FLAIR magnetic resonance.
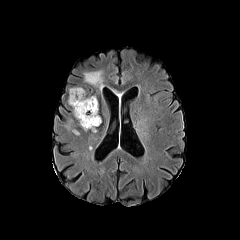
T1-weighted MR image.
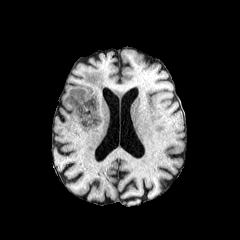
Post-contrast T1-weighted MRI.
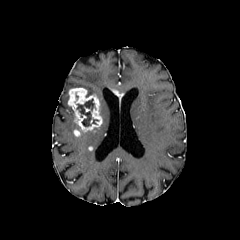
T2-weighted magnetic resonance.
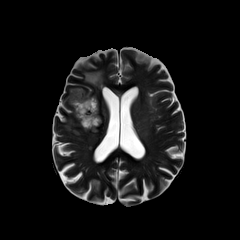
Axial plane | Brain
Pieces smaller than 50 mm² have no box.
The 2 largest enhancing tumor regions are bounded by <box>68,87,102,135</box>, <box>112,90,123,106</box>. The largest peritumoral edema region appears at <box>84,71,103,90</box>. The largest necrotic tumor core region appears at <box>77,99,94,126</box>.